FLAIR MR.
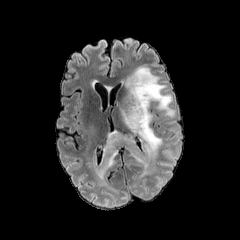
T1-weighted MR.
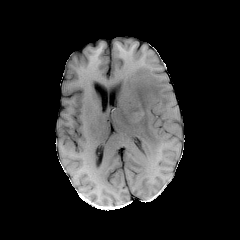
Post-contrast T1-weighted MR image.
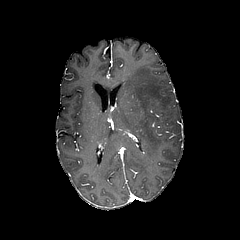
T2-weighted MRI.
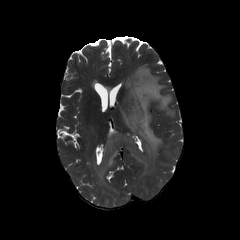
240x240 px; Head
{
  "peritumoral_edema": [
    "x1=120 y1=66 x2=174 y2=158",
    "x1=97 y1=131 x2=147 y2=178"
  ]
}